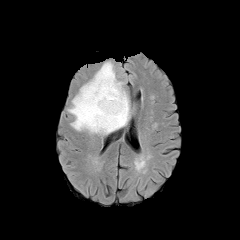
FLAIR MR.
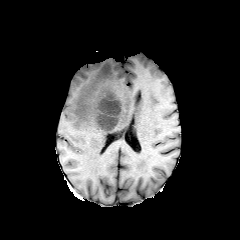
Same slice, T1-weighted MR.
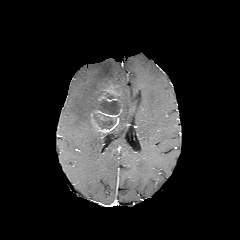
Post-contrast T1-weighted MRI of the same slice.
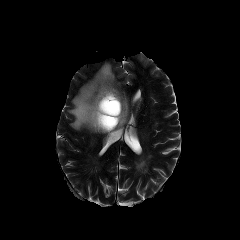
Same slice, T2-weighted MRI.
Brain; Axial slice
peritumoral_edema:
  - region(68, 61, 130, 135)
necrotic_tumor_core:
  - region(100, 92, 119, 114)
  - region(93, 114, 115, 128)
enhancing_tumor:
  - region(91, 88, 121, 132)